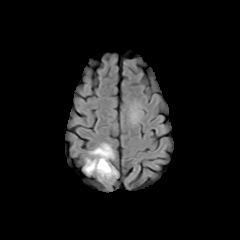
FLAIR MRI.
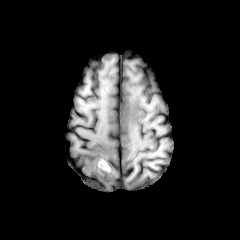
T1-weighted MRI.
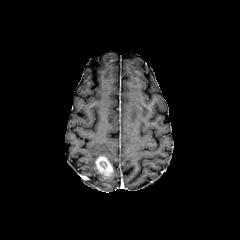
Post-contrast T1-weighted MR image.
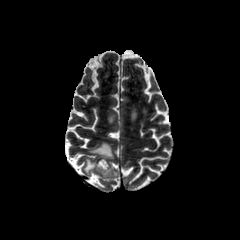
Same slice, T2-weighted MR.
240x240.
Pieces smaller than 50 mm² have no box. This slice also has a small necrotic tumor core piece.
peritumoral_edema:
  - bbox(84, 143, 117, 179)
  - bbox(131, 106, 137, 123)
enhancing_tumor:
  - bbox(95, 156, 113, 177)